FLAIR MRI.
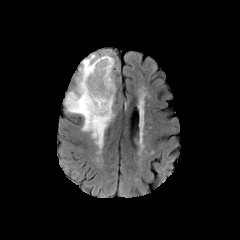
T1-weighted MRI.
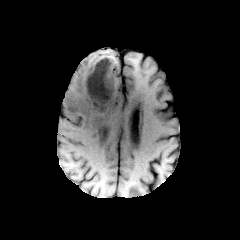
Post-contrast T1-weighted magnetic resonance.
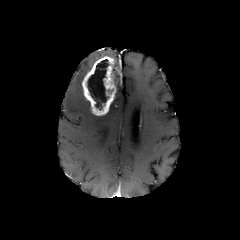
T2-weighted MR.
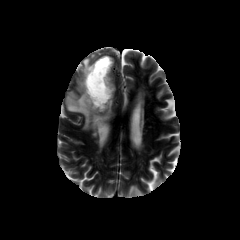
Brain
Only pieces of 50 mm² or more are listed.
The enhancing tumor is at {"x1": 82, "y1": 56, "x2": 116, "y2": 115}. The largest peritumoral edema region is bounded by {"x1": 64, "y1": 50, "x2": 118, "y2": 151}. The necrotic tumor core is bounded by {"x1": 88, "y1": 59, "x2": 108, "y2": 109}.